Slice 75/155, Axial view, Head
FLAIR magnetic resonance.
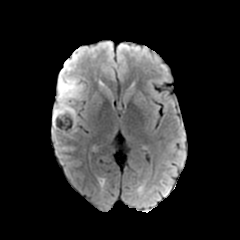
T1-weighted magnetic resonance.
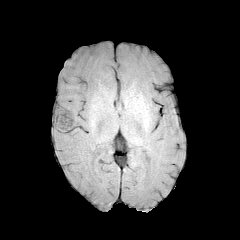
Post-contrast T1-weighted magnetic resonance.
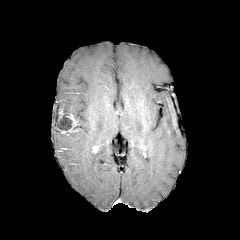
T2-weighted MRI.
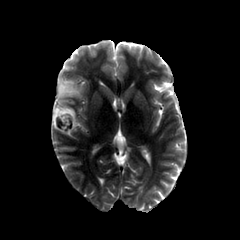
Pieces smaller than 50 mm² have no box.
<segmentation>
  <necrotic_tumor_core>[x1=57, y1=116, x2=72, y2=130]</necrotic_tumor_core>
  <peritumoral_edema>[x1=52, y1=81, x2=84, y2=132]</peritumoral_edema>
  <enhancing_tumor>[x1=57, y1=113, x2=79, y2=136]</enhancing_tumor>
</segmentation>